Axial plane, 240x240
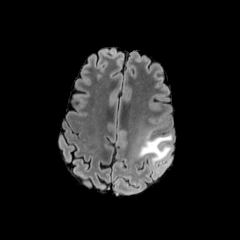
FLAIR MR.
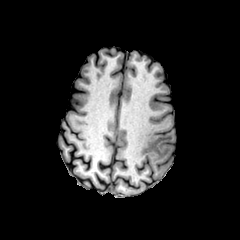
T1-weighted MR image.
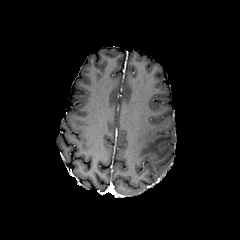
Post-contrast T1-weighted MR.
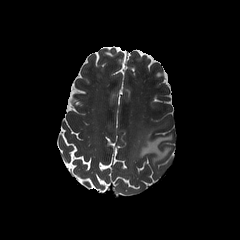
T2-weighted MRI.
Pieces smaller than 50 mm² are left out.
The largest peritumoral edema region appears at {"x1": 138, "y1": 128, "x2": 172, "y2": 166}.